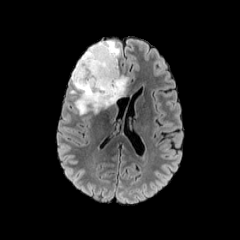
FLAIR magnetic resonance.
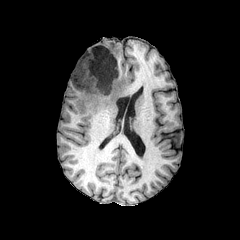
Same slice, T1-weighted MRI.
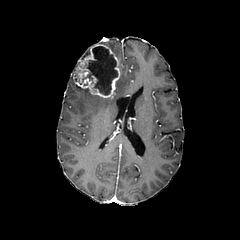
Same slice, post-contrast T1-weighted magnetic resonance.
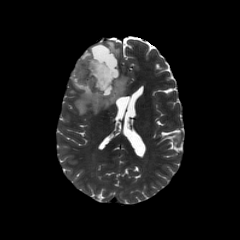
T2-weighted MR image of the same slice.
Axial slice | 240x240
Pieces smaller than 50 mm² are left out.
The largest necrotic tumor core region is at [82,46,117,95]. The 2 largest peritumoral edema regions are bounded by [71,68,128,114], [99,41,120,58]. The enhancing tumor lies within [73,43,119,98].